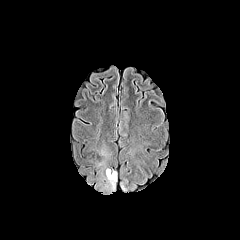
FLAIR MRI.
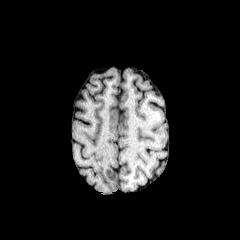
T1-weighted MR.
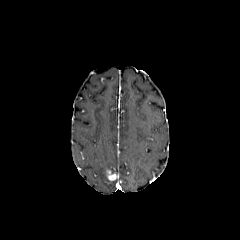
Post-contrast T1-weighted magnetic resonance.
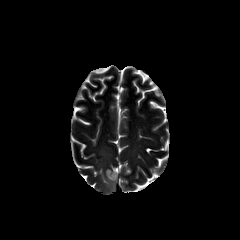
T2-weighted magnetic resonance.
Image size 240x240. Axial slice.
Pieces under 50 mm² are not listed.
{
  "enhancing_tumor": [
    "107:170:116:180"
  ],
  "peritumoral_edema": [
    "98:141:113:165"
  ]
}